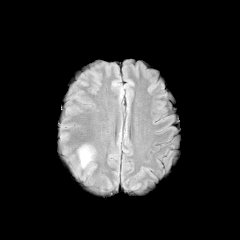
FLAIR magnetic resonance.
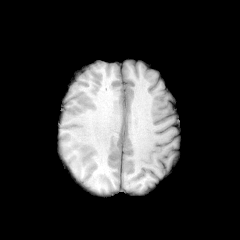
T1-weighted MR of the same slice.
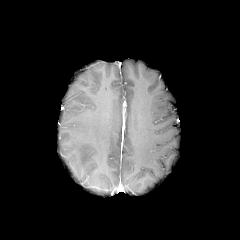
Post-contrast T1-weighted magnetic resonance of the same slice.
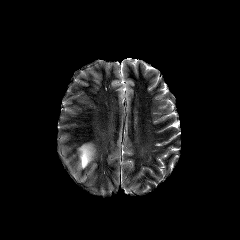
T2-weighted magnetic resonance.
Axial plane
peritumoral_edema:
  - (79, 146, 92, 167)